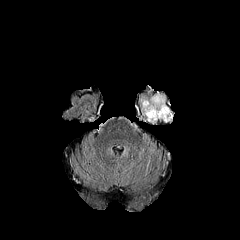
FLAIR MR.
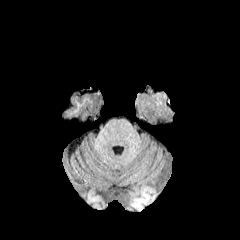
T1-weighted MRI of the same slice.
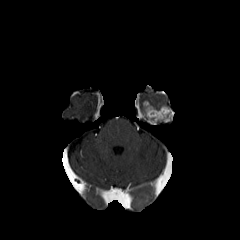
Post-contrast T1-weighted MR image.
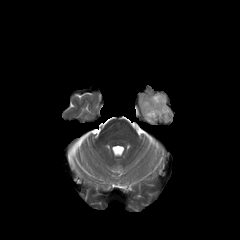
T2-weighted magnetic resonance.
Brain; 240x240
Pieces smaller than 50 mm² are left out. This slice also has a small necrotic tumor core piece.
{"enhancing_tumor": ["[142, 101, 173, 124]"], "peritumoral_edema": ["[140, 93, 165, 113]"]}